Brain. Axial slice.
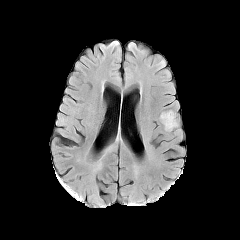
FLAIR MRI.
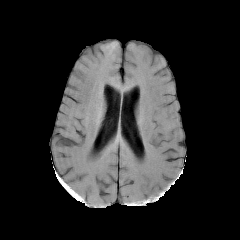
T1-weighted MRI of the same slice.
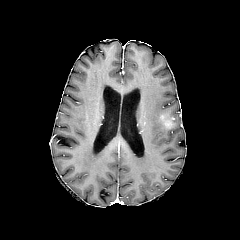
Post-contrast T1-weighted MR.
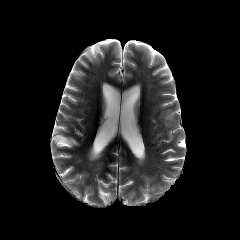
T2-weighted MR image.
peritumoral edema = bbox(159, 109, 180, 133)
enhancing tumor = bbox(160, 113, 174, 128)